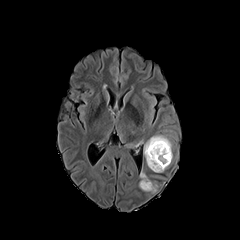
FLAIR magnetic resonance.
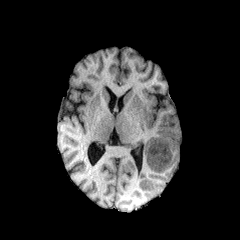
T1-weighted MR of the same slice.
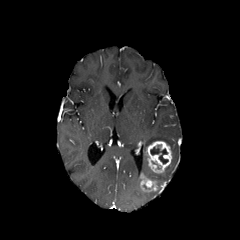
Post-contrast T1-weighted magnetic resonance.
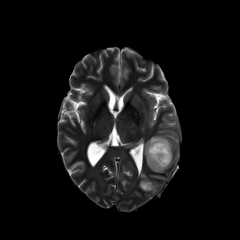
Same slice, T2-weighted magnetic resonance.
Axial slice
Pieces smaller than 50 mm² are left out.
The largest peritumoral edema region is at 144 135 172 164. The largest necrotic tumor core region is at 150 145 168 163. 2 enhancing tumor regions are bounded by 145 141 172 173, 140 174 158 191.